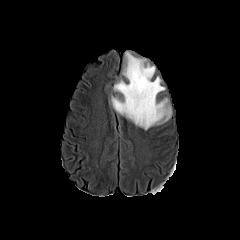
FLAIR MR image.
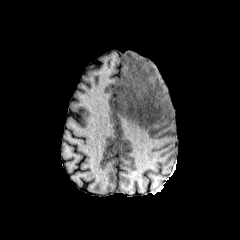
T1-weighted MR image.
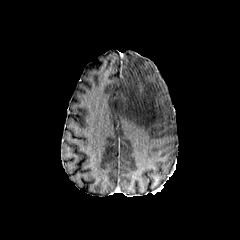
Same slice, post-contrast T1-weighted magnetic resonance.
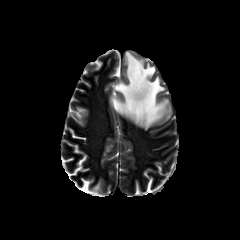
Same slice, T2-weighted MRI.
Axial slice | 240x240
The peritumoral edema is located at x1=111 y1=51 x2=171 y2=130.